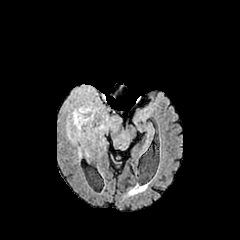
FLAIR MR.
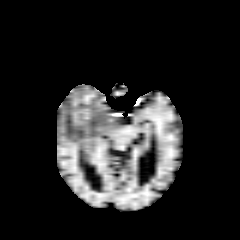
Same slice, T1-weighted MR image.
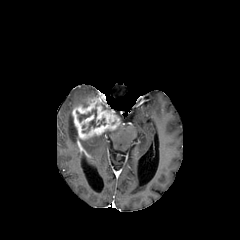
Post-contrast T1-weighted magnetic resonance.
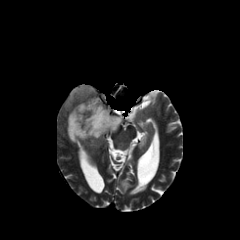
T2-weighted MRI.
Head
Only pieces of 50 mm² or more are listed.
- necrotic tumor core: box=[76, 109, 100, 130]
- enhancing tumor: box=[71, 97, 120, 140]
- peritumoral edema: box=[67, 86, 94, 108]; box=[67, 113, 77, 143]